Brain, 240x240 px, Image covers 240 mm x 240 mm, Slice 109/155
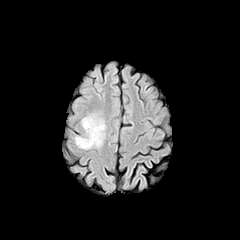
FLAIR MR image.
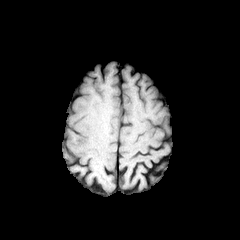
T1-weighted MRI.
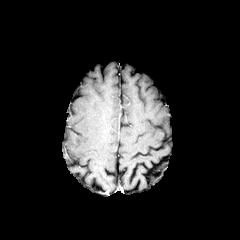
Same slice, post-contrast T1-weighted MR image.
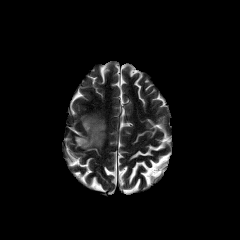
T2-weighted MRI of the same slice.
peritumoral edema: bounding box (x1=75, y1=117, x2=104, y2=148)